Head. 240x240.
FLAIR magnetic resonance.
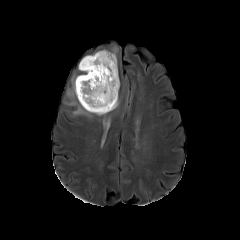
T1-weighted MR.
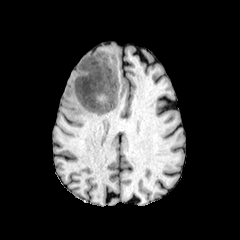
Post-contrast T1-weighted MR image.
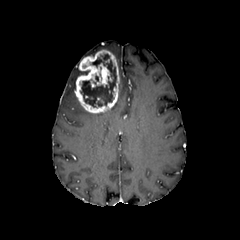
T2-weighted magnetic resonance.
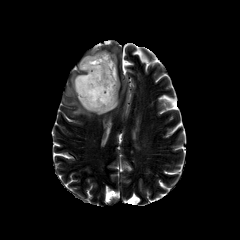
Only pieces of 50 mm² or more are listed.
enhancing_tumor:
  - [75,50,119,113]
necrotic_tumor_core:
  - [80,54,116,107]
peritumoral_edema:
  - [66,75,92,117]
  - [95,95,119,115]